Axial plane | Head | Image width 240 mm | Slice index 117
FLAIR MR.
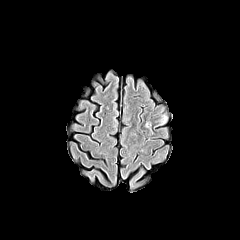
T1-weighted magnetic resonance.
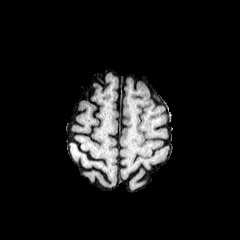
Post-contrast T1-weighted magnetic resonance.
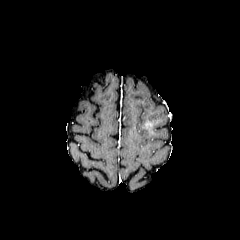
T2-weighted MR.
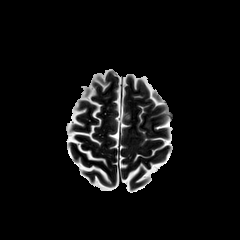
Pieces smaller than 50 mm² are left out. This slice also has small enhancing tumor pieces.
peritumoral_edema:
  - rect(154, 113, 167, 127)
  - rect(144, 120, 153, 134)